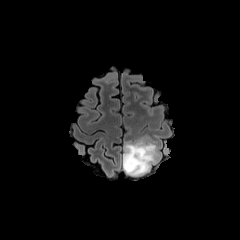
FLAIR MR image.
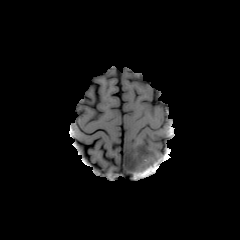
T1-weighted MR of the same slice.
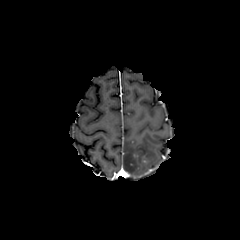
Same slice, post-contrast T1-weighted MR image.
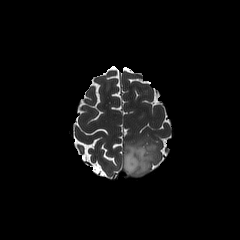
Same slice, T2-weighted MR.
Head; Axial plane
Findings:
• peritumoral edema: <bbox>123, 138, 162, 176</bbox>